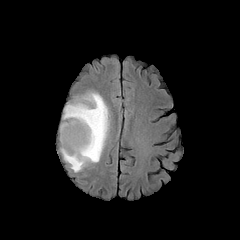
FLAIR MR.
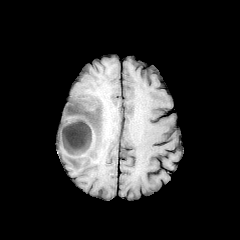
T1-weighted MR.
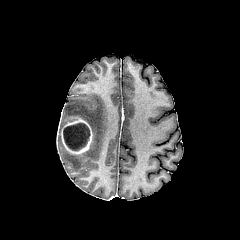
Post-contrast T1-weighted MR image of the same slice.
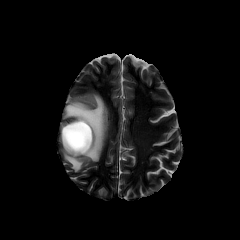
T2-weighted MR.
240x240 px.
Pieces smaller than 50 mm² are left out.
peritumoral_edema:
  - 61, 93, 109, 171
enhancing_tumor:
  - 61, 116, 92, 154
necrotic_tumor_core:
  - 63, 123, 89, 150